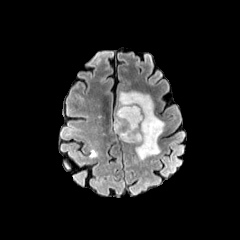
FLAIR MR image.
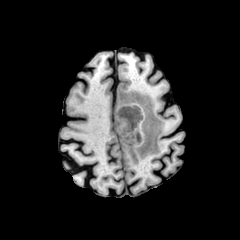
T1-weighted magnetic resonance.
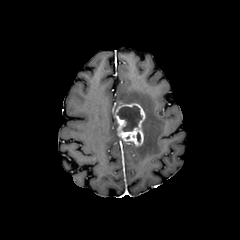
Post-contrast T1-weighted MR image.
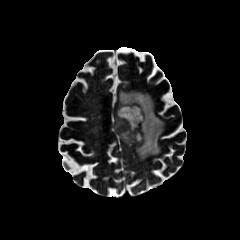
Same slice, T2-weighted magnetic resonance.
240x240 px; Axial plane
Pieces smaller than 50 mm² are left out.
peritumoral edema: left=119, top=91, right=164, bottom=159
necrotic tumor core: left=117, top=105, right=142, bottom=131
enhancing tumor: left=115, top=101, right=145, bottom=146